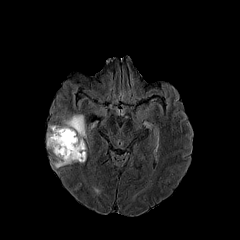
FLAIR MR.
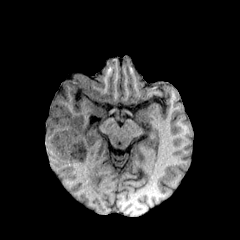
T1-weighted MRI of the same slice.
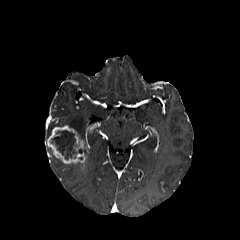
Same slice, post-contrast T1-weighted MRI.
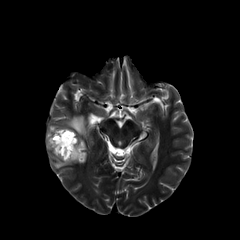
T2-weighted MR image.
Axial slice. Head.
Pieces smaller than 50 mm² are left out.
<segmentation>
  <enhancing_tumor><bbox>47, 125, 88, 169</bbox></enhancing_tumor>
  <peritumoral_edema><bbox>50, 153, 71, 168</bbox>, <bbox>46, 125, 62, 138</bbox>, <bbox>62, 115, 84, 138</bbox></peritumoral_edema>
  <necrotic_tumor_core><bbox>51, 130, 86, 159</bbox></necrotic_tumor_core>
</segmentation>